FLAIR magnetic resonance.
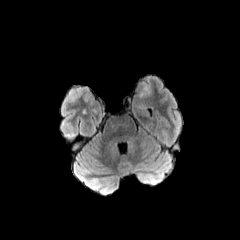
T1-weighted MRI.
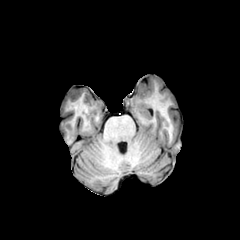
Post-contrast T1-weighted MRI.
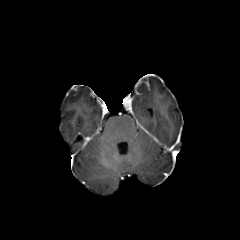
T2-weighted MRI.
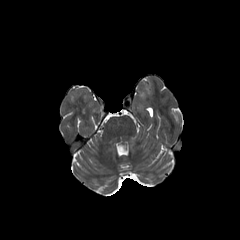
Axial plane. Head.
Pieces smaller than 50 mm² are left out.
<segmentation>
  <peritumoral_edema>(138, 84, 153, 97)</peritumoral_edema>
  <enhancing_tumor>(135, 79, 150, 93)</enhancing_tumor>
</segmentation>